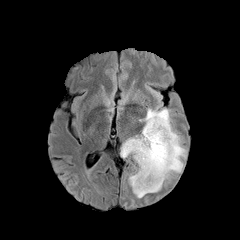
FLAIR MR.
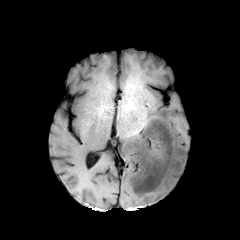
T1-weighted MR image.
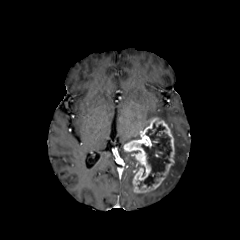
Same slice, post-contrast T1-weighted MRI.
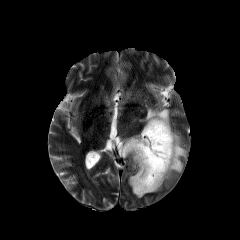
Same slice, T2-weighted magnetic resonance.
Axial slice
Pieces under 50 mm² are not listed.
peritumoral edema = [123, 135, 140, 144], [140, 108, 186, 192], [120, 145, 130, 158]
enhancing tumor = [123, 117, 174, 193]
necrotic tumor core = [138, 123, 171, 187]